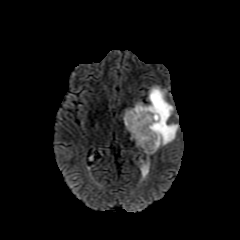
FLAIR magnetic resonance.
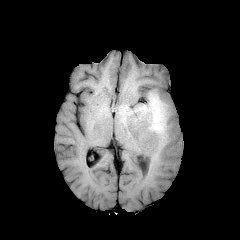
Same slice, T1-weighted MR.
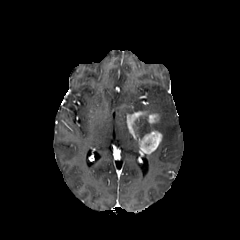
Post-contrast T1-weighted MR.
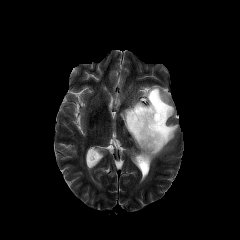
T2-weighted MRI.
Brain. Axial slice.
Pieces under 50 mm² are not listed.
{
  "peritumoral_edema": [
    "x1=122, y1=85, x2=178, y2=154"
  ],
  "enhancing_tumor": [
    "x1=127, y1=111, x2=162, y2=155"
  ]
}